Axial view; Image size 240x240
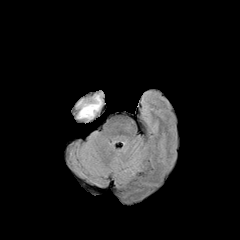
FLAIR MR.
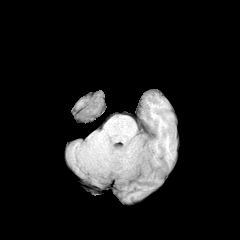
T1-weighted magnetic resonance.
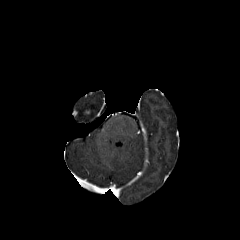
Post-contrast T1-weighted MRI.
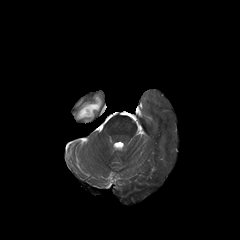
T2-weighted MRI of the same slice.
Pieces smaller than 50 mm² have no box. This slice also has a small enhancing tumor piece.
The largest peritumoral edema region appears at left=78, top=95, right=101, bottom=118.